Axial plane. Brain.
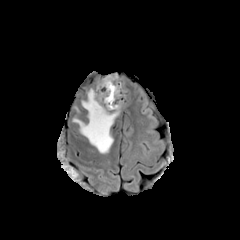
FLAIR MR image.
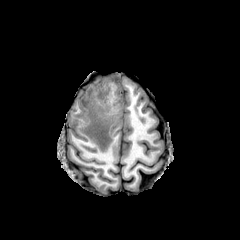
T1-weighted magnetic resonance.
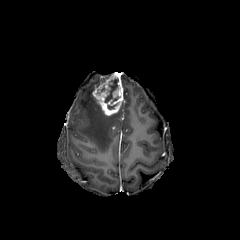
Post-contrast T1-weighted MR image of the same slice.
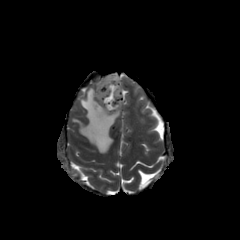
T2-weighted MR.
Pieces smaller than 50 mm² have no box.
The largest necrotic tumor core region is at 105 78 119 103. The enhancing tumor is located at 92 74 124 115. The peritumoral edema is bounded by 73 88 119 153.